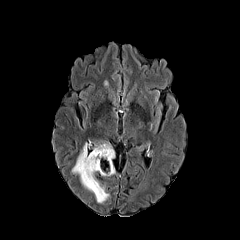
FLAIR magnetic resonance.
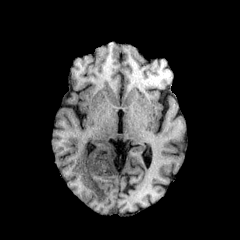
T1-weighted magnetic resonance.
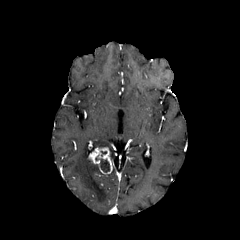
Post-contrast T1-weighted MRI.
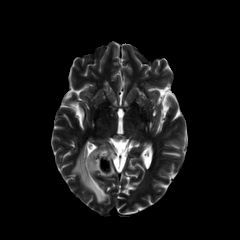
Same slice, T2-weighted magnetic resonance.
Brain; Axial plane
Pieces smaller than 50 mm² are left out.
<segmentation>
  <enhancing_tumor>box(88, 147, 112, 175)</enhancing_tumor>
  <peritumoral_edema>box(72, 142, 109, 203); box(95, 141, 115, 160)</peritumoral_edema>
  <necrotic_tumor_core>box(95, 157, 109, 172)</necrotic_tumor_core>
</segmentation>